FLAIR MR image.
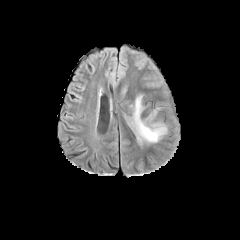
T1-weighted MRI.
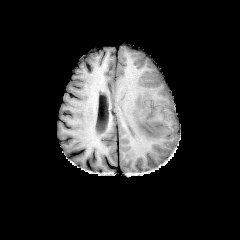
Post-contrast T1-weighted MRI.
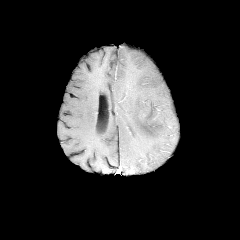
T2-weighted MR image.
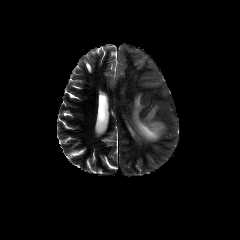
Brain. Axial slice.
<segmentation>
  <peritumoral_edema>131 95 166 142</peritumoral_edema>
</segmentation>